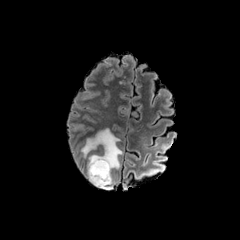
FLAIR MRI.
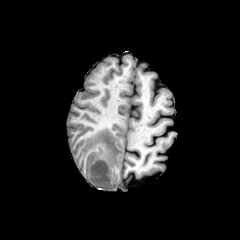
T1-weighted magnetic resonance of the same slice.
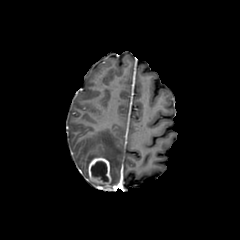
Post-contrast T1-weighted MR image.
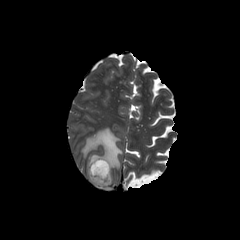
Same slice, T2-weighted MR image.
Head
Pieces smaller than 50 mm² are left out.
necrotic_tumor_core:
  - [x1=91, y1=161, x2=108, y2=181]
peritumoral_edema:
  - [x1=81, y1=128, x2=122, y2=188]
enhancing_tumor:
  - [x1=88, y1=157, x2=111, y2=190]